FLAIR MR.
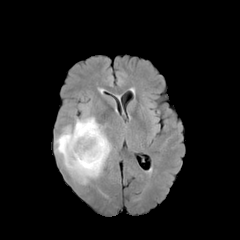
T1-weighted magnetic resonance.
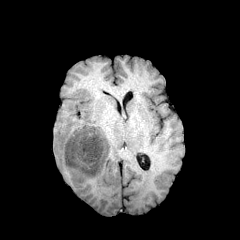
Post-contrast T1-weighted MR image.
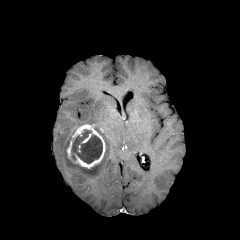
T2-weighted MR image.
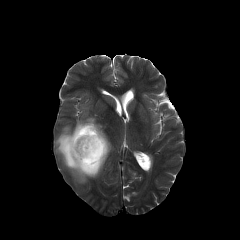
Head
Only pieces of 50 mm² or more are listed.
The necrotic tumor core is at x1=71, y1=129, x2=102, y2=163. The peritumoral edema is at x1=55, y1=116, x2=111, y2=184. The largest enhancing tumor region lies within x1=65, y1=124, x2=105, y2=168.